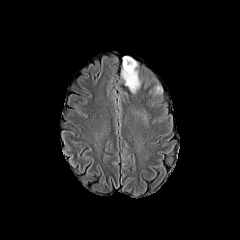
FLAIR MR.
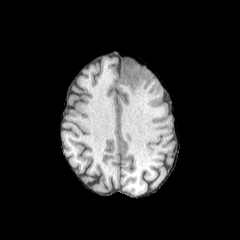
T1-weighted MRI of the same slice.
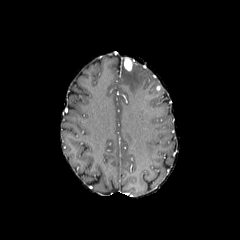
Post-contrast T1-weighted MR of the same slice.
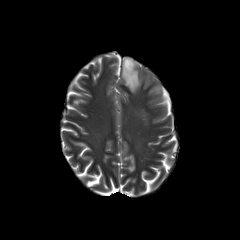
T2-weighted MRI.
Axial slice
* peritumoral edema: 121:60:141:93
* enhancing tumor: 123:56:134:71